FLAIR MRI.
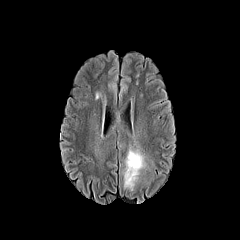
T1-weighted MRI.
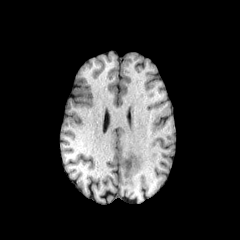
Post-contrast T1-weighted MR.
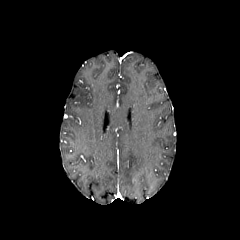
T2-weighted MR image.
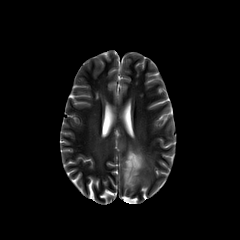
Axial plane.
<segmentation>
  <peritumoral_edema>(123, 149, 145, 190)</peritumoral_edema>
</segmentation>